FLAIR MRI.
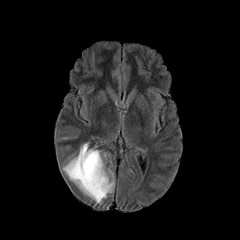
T1-weighted MRI.
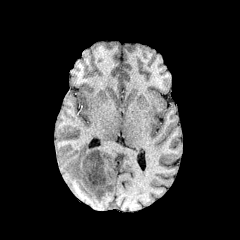
Post-contrast T1-weighted MR image.
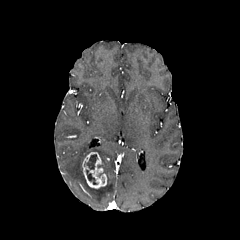
T2-weighted MR image.
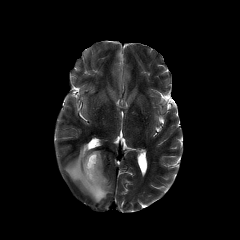
Head | Axial plane
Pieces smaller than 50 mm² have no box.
{
  "necrotic_tumor_core": [
    "(x1=84, y1=154, x2=98, y2=169)",
    "(x1=86, y1=169, x2=96, y2=184)"
  ],
  "enhancing_tumor": [
    "(x1=82, y1=152, x2=106, y2=188)"
  ],
  "peritumoral_edema": [
    "(x1=63, y1=143, x2=114, y2=203)"
  ]
}